Head. Axial plane.
FLAIR MR image.
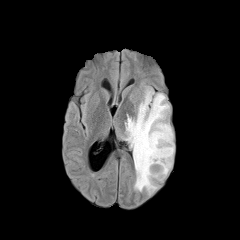
T1-weighted MR.
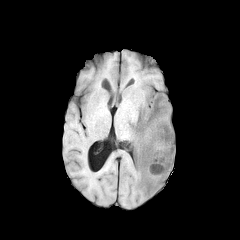
Post-contrast T1-weighted magnetic resonance.
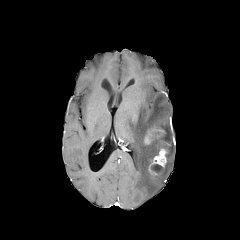
T2-weighted magnetic resonance.
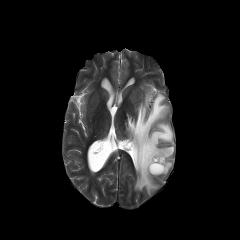
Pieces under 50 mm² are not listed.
enhancing_tumor:
  - x1=149 y1=148 x2=167 y2=174
peritumoral_edema:
  - x1=124 y1=88 x2=174 y2=194
necrotic_tumor_core:
  - x1=151 y1=164 x2=162 y2=172